Slice index 135. Image size 240x240.
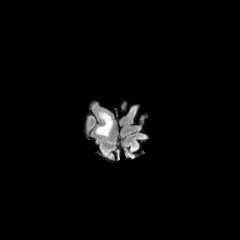
FLAIR MRI.
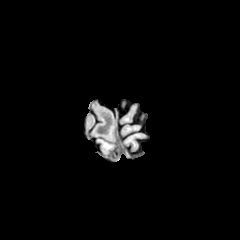
T1-weighted MR image of the same slice.
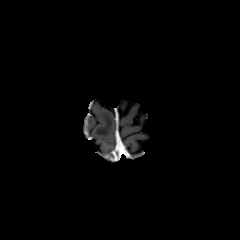
Post-contrast T1-weighted MR image.
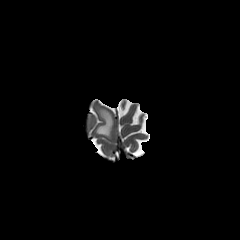
T2-weighted MR image of the same slice.
peritumoral_edema:
  - box(95, 109, 113, 137)